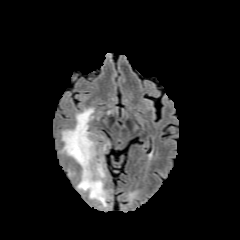
FLAIR MRI.
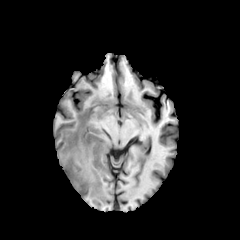
T1-weighted MR image of the same slice.
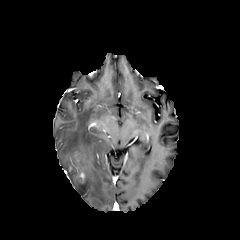
Post-contrast T1-weighted MR image of the same slice.
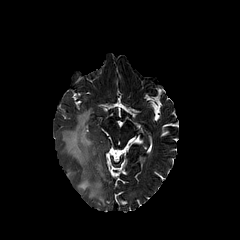
T2-weighted MR.
240x240 px | Brain | Axial view
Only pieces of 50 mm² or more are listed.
enhancing tumor: bounding box bbox(79, 172, 85, 184)
peritumoral edema: bounding box bbox(61, 108, 106, 206)